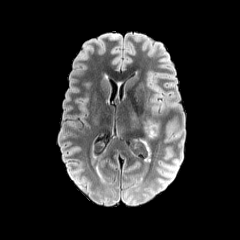
FLAIR magnetic resonance.
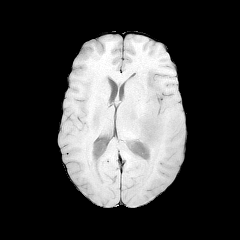
T1-weighted MR.
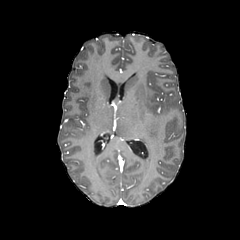
Post-contrast T1-weighted MR image.
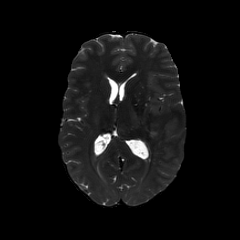
T2-weighted MRI of the same slice.
Axial view.
The peritumoral edema is bounded by (145,121,156,137).